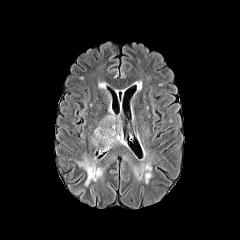
FLAIR magnetic resonance.
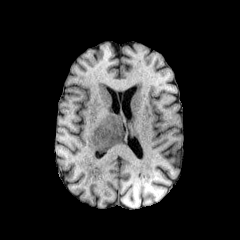
T1-weighted MR.
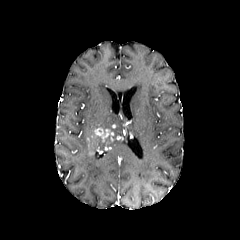
Post-contrast T1-weighted MR image.
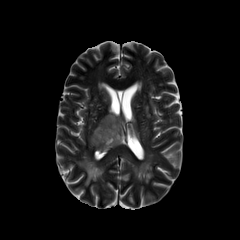
T2-weighted MR image.
Image size 240x240; Head
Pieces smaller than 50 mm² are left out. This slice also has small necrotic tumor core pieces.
enhancing tumor: box(91, 127, 114, 145)
peritumoral edema: box(78, 155, 103, 185); box(90, 138, 123, 150); box(97, 112, 123, 137)